FLAIR MR.
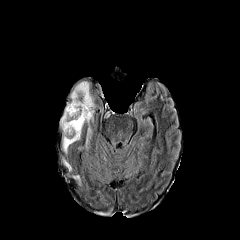
T1-weighted MR image.
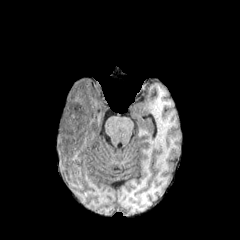
Post-contrast T1-weighted MR image.
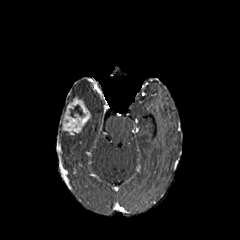
T2-weighted magnetic resonance.
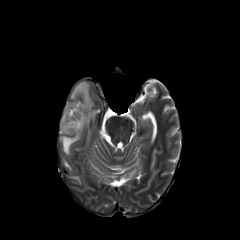
Brain; 240x240; Axial slice
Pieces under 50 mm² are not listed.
necrotic tumor core — 70:105:83:117
peritumoral edema — 70:81:94:119, 62:132:81:152
enhancing tumor — 60:97:90:135